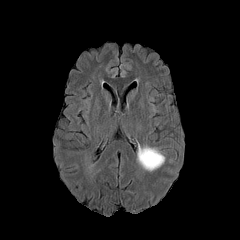
FLAIR MR image.
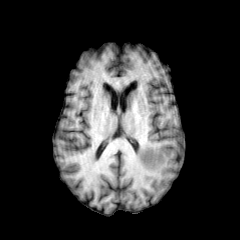
T1-weighted MR image of the same slice.
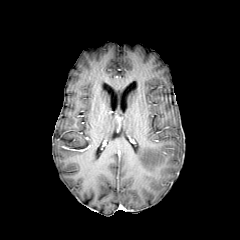
Post-contrast T1-weighted MRI.
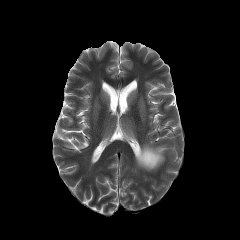
T2-weighted MR.
Image size 240x240, Brain
{
  "peritumoral_edema": [
    "box(137, 145, 165, 171)"
  ]
}